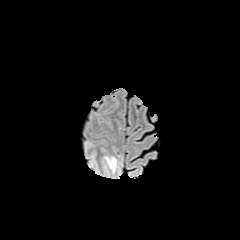
FLAIR MR.
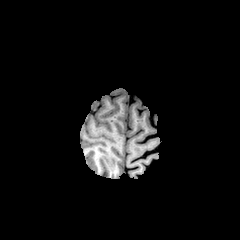
T1-weighted MRI.
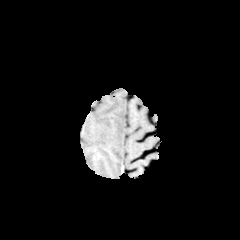
Post-contrast T1-weighted magnetic resonance.
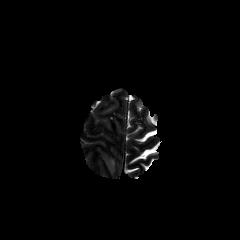
T2-weighted MR.
Brain | Image size 240x240 | Axial plane
{"peritumoral_edema": ["(104, 156, 116, 173)"]}